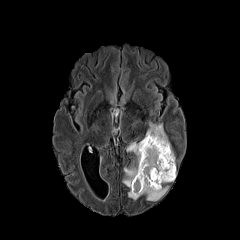
FLAIR MRI.
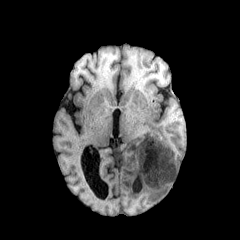
T1-weighted MR of the same slice.
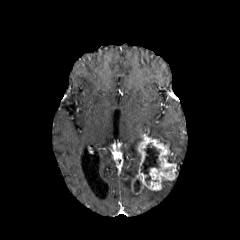
Post-contrast T1-weighted MRI.
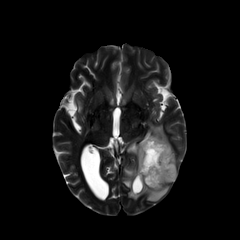
Same slice, T2-weighted MR.
Axial slice.
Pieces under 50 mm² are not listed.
enhancing tumor: 132, 135, 176, 194
necrotic tumor core: 134, 179, 141, 192; 141, 143, 159, 184
peritumoral edema: 122, 141, 173, 201; 146, 122, 175, 162